FLAIR MR.
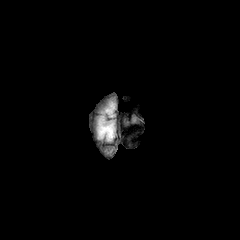
T1-weighted MRI.
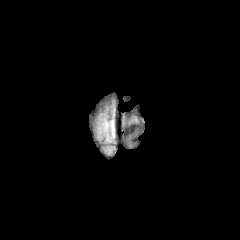
Post-contrast T1-weighted magnetic resonance.
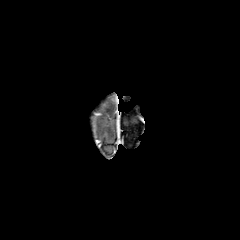
T2-weighted magnetic resonance.
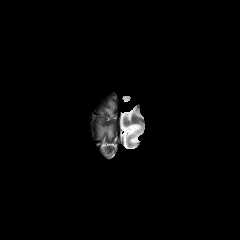
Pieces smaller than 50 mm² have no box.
Findings:
• peritumoral edema: [99,124,112,138]